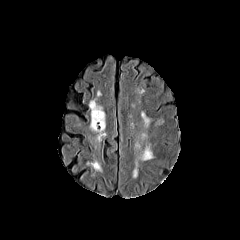
FLAIR MR image.
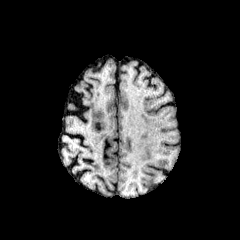
T1-weighted MR image.
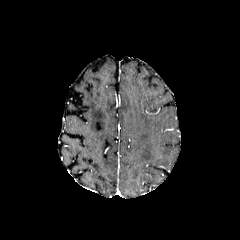
Post-contrast T1-weighted MR image of the same slice.
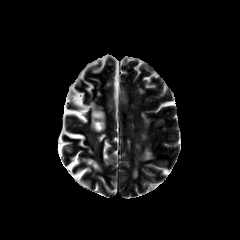
T2-weighted MR image.
Brain. 240x240. Axial slice.
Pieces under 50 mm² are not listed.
peritumoral edema at bbox(139, 147, 152, 160); bbox(133, 160, 137, 177); bbox(141, 112, 149, 126)